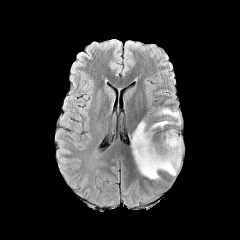
FLAIR MR image.
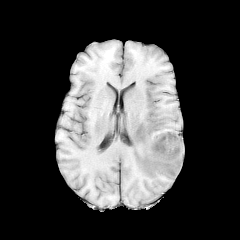
T1-weighted MR image.
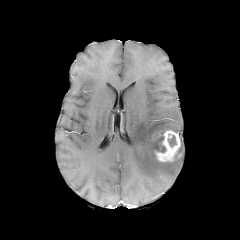
Post-contrast T1-weighted MR of the same slice.
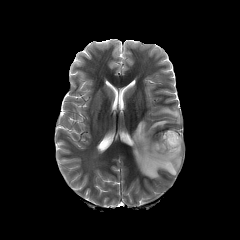
T2-weighted MR.
Axial slice | 240x240 px
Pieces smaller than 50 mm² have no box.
Findings:
• enhancing tumor: 155, 130, 180, 161
• necrotic tumor core: 168, 135, 176, 146
• peritumoral edema: 131, 120, 182, 179; 156, 107, 180, 124